FLAIR magnetic resonance.
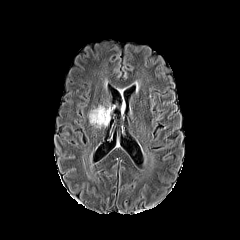
T1-weighted MR image.
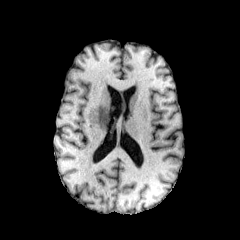
Post-contrast T1-weighted magnetic resonance.
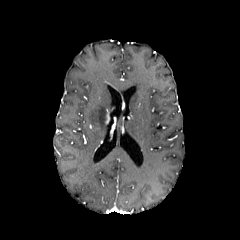
T2-weighted MR.
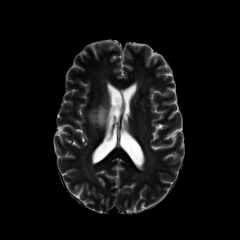
240x240; Axial view
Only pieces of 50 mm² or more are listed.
Findings:
- enhancing tumor: bbox(105, 109, 110, 123)
- peritumoral edema: bbox(88, 105, 107, 127)